Slice 96/155, Head, 240x240
FLAIR MR.
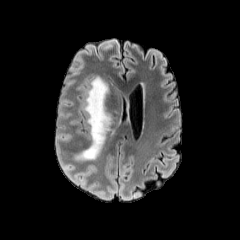
T1-weighted MR.
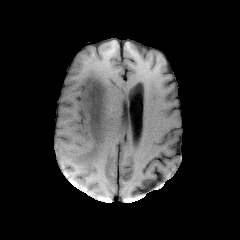
Post-contrast T1-weighted MR.
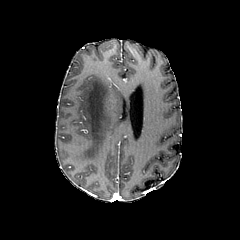
T2-weighted MRI.
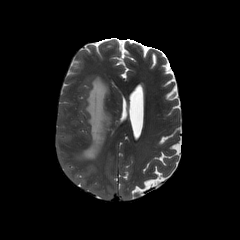
peritumoral edema: bounding box l=75, t=76, r=111, b=160